Image width 240 mm | Brain | Slice 44 of 155 | 240x240 | Axial plane
FLAIR MR.
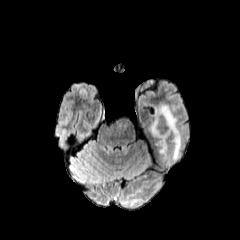
T1-weighted MRI.
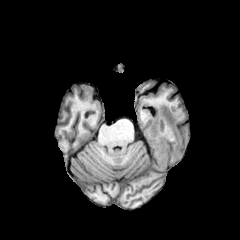
Post-contrast T1-weighted magnetic resonance.
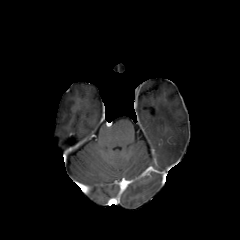
T2-weighted MRI.
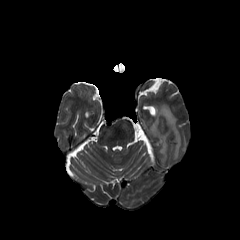
<segmentation>
  <peritumoral_edema><box>151,104,183,160</box></peritumoral_edema>
</segmentation>